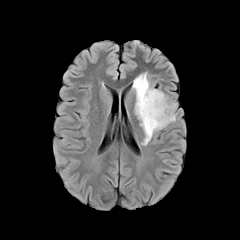
FLAIR MR.
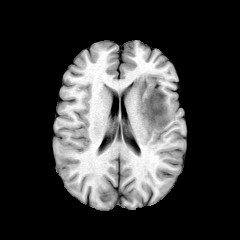
Same slice, T1-weighted MR.
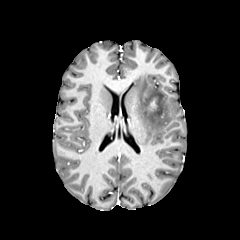
Post-contrast T1-weighted MR image.
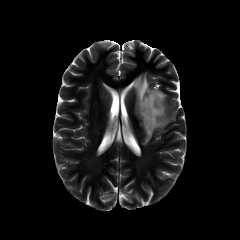
T2-weighted MR image.
Head, Axial plane, Image size 240x240
peritumoral edema at 132,72,176,145
enhancing tumor at 149,98,156,111